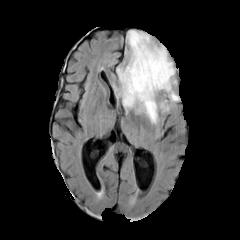
FLAIR MR image.
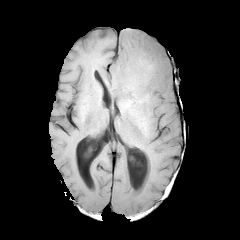
T1-weighted MR image.
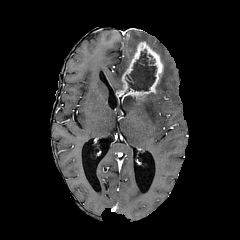
Same slice, post-contrast T1-weighted MRI.
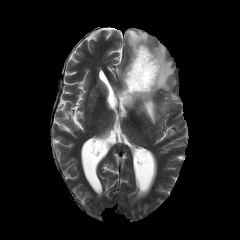
T2-weighted magnetic resonance.
Head, 240x240 px
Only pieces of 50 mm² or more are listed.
necrotic tumor core = 126 50 156 90
peritumoral edema = 160 100 169 111, 122 93 157 123, 115 30 177 101
enhancing tumor = 116 41 163 99